Slice 96/155 | 240x240
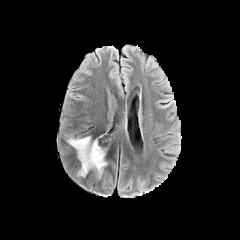
FLAIR MR image.
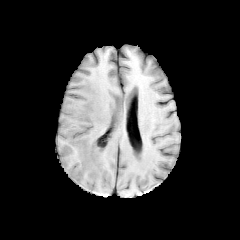
Same slice, T1-weighted MR image.
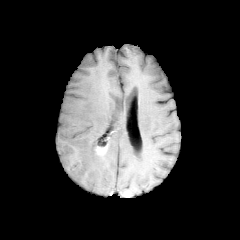
Post-contrast T1-weighted MR image.
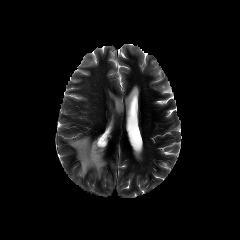
Same slice, T2-weighted MR image.
peritumoral edema: bounding box box=[67, 135, 108, 181]
enhancing tumor: bounding box box=[96, 146, 109, 155]